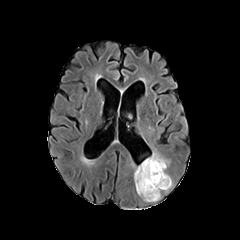
FLAIR MR.
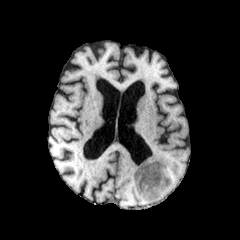
Same slice, T1-weighted MRI.
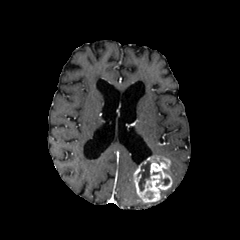
Same slice, post-contrast T1-weighted MRI.
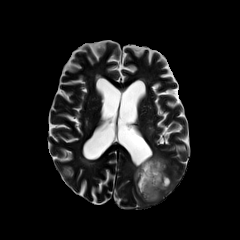
T2-weighted MR image of the same slice.
Brain; Image size 240x240; Axial view
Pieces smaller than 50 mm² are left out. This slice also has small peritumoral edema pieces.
enhancing tumor: bounding box (133, 155, 171, 202)
necrotic tumor core: bounding box (160, 175, 169, 185), (137, 162, 150, 191)